Slice 54 of 155. Image width 240 mm, 1.00 mm slice spacing. Axial view.
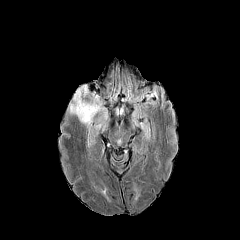
FLAIR magnetic resonance.
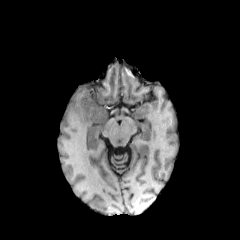
T1-weighted MR image of the same slice.
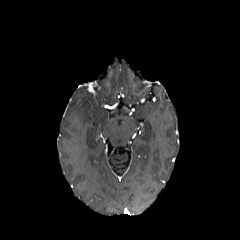
Same slice, post-contrast T1-weighted MR.
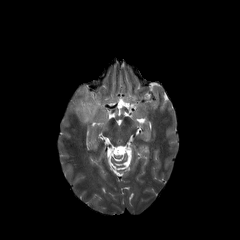
Same slice, T2-weighted MR image.
The peritumoral edema appears at [x1=67, y1=83, x2=109, y2=126].